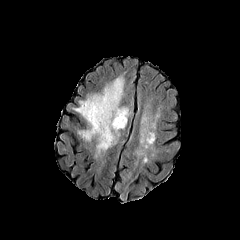
FLAIR MR image.
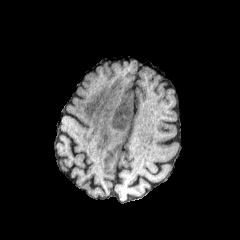
T1-weighted MR.
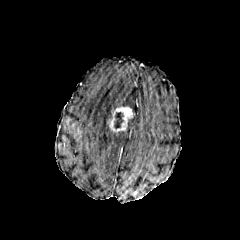
Post-contrast T1-weighted MR of the same slice.
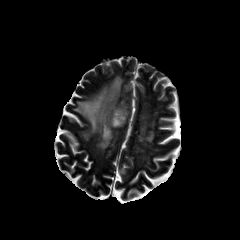
T2-weighted MR.
Head | Axial plane
Segmented structures:
- enhancing tumor: bbox=[108, 106, 133, 132]
- peritumoral edema: bbox=[73, 77, 123, 155]
- necrotic tumor core: bbox=[114, 112, 123, 128]